FLAIR MR image.
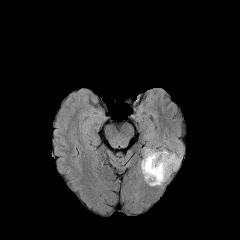
T1-weighted magnetic resonance.
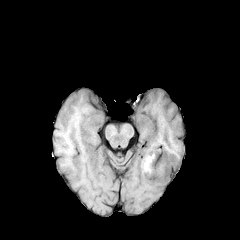
Post-contrast T1-weighted MR image.
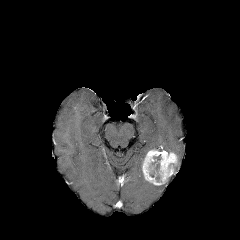
T2-weighted magnetic resonance.
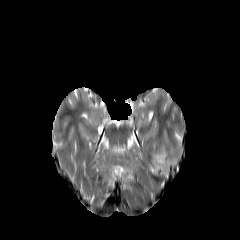
Axial plane | Head | 240x240 px
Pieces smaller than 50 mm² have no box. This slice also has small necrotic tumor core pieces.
peritumoral_edema:
  - left=175, top=147, right=182, bottom=169
  - left=140, top=148, right=154, bottom=170
enhancing_tumor:
  - left=142, top=149, right=177, bottom=185